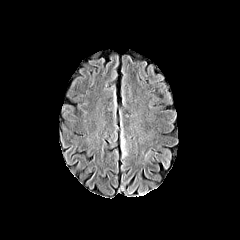
FLAIR magnetic resonance.
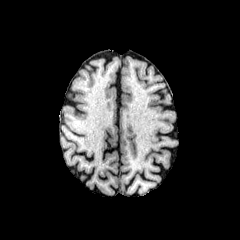
T1-weighted magnetic resonance.
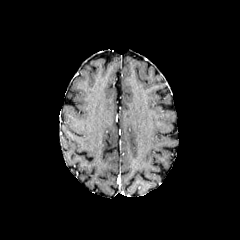
Post-contrast T1-weighted MR of the same slice.
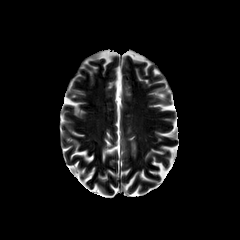
Same slice, T2-weighted magnetic resonance.
Axial slice
Segmented structures:
- peritumoral edema: left=121, top=136, right=128, bottom=158